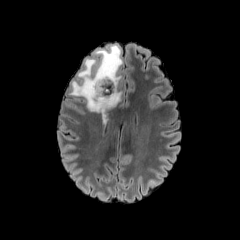
FLAIR MRI.
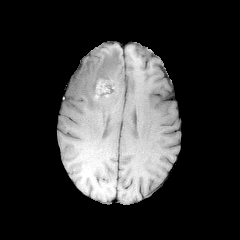
T1-weighted MRI of the same slice.
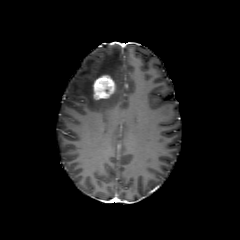
Post-contrast T1-weighted MR of the same slice.
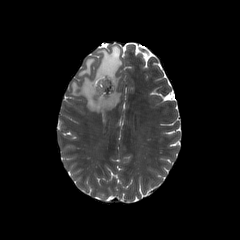
T2-weighted magnetic resonance.
Brain; 240x240 px; Axial plane
enhancing tumor = box=[92, 75, 115, 99]
necrotic tumor core = box=[98, 80, 111, 93]
peritumoral edema = box=[69, 44, 122, 117]